FLAIR MRI.
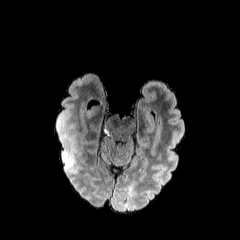
T1-weighted magnetic resonance.
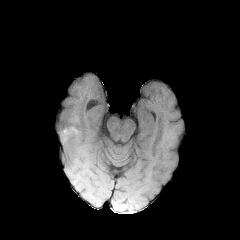
Post-contrast T1-weighted magnetic resonance.
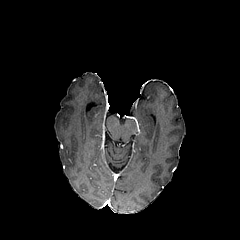
T2-weighted MR.
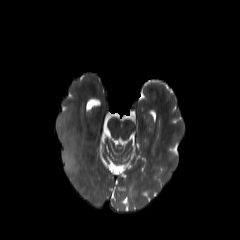
Axial view | Brain | Image size 240x240
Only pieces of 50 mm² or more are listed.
{
  "peritumoral_edema": [
    "region(58, 118, 78, 174)"
  ]
}